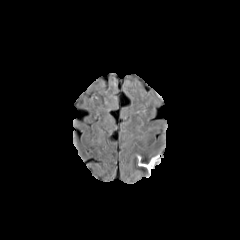
FLAIR MRI.
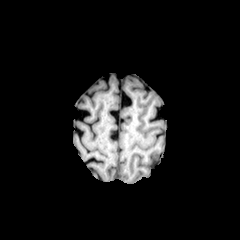
T1-weighted magnetic resonance.
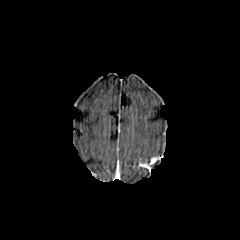
Post-contrast T1-weighted magnetic resonance.
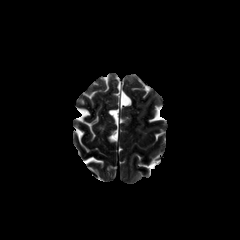
Same slice, T2-weighted MR image.
Head. Axial slice.
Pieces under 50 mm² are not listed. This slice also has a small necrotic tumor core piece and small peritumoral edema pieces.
Segmented structures:
* enhancing tumor: (left=139, top=156, right=160, bottom=172)